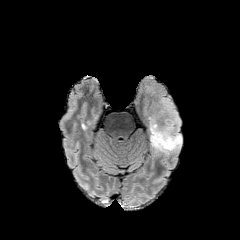
FLAIR MRI.
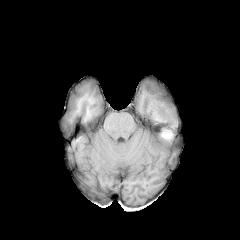
Same slice, T1-weighted MRI.
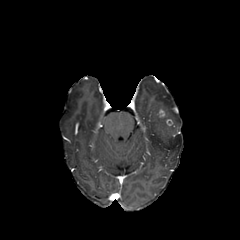
Post-contrast T1-weighted MR image.
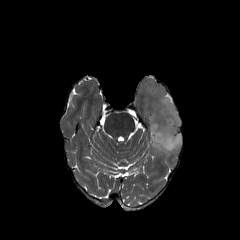
T2-weighted MR image.
Image size 240x240, Axial view, Head
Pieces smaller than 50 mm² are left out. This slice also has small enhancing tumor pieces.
peritumoral edema: bbox=[137, 78, 182, 157]